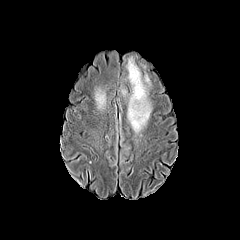
FLAIR magnetic resonance.
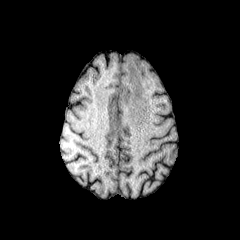
T1-weighted MR.
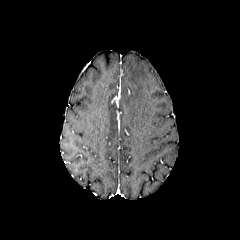
Post-contrast T1-weighted MR of the same slice.
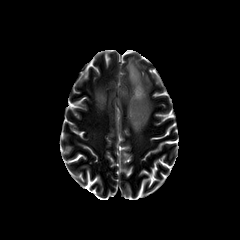
T2-weighted MRI.
Brain, Axial view
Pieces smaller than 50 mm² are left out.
<segmentation>
  <peritumoral_edema>(left=126, top=58, right=151, bottom=132), (left=95, top=90, right=105, bottom=108)</peritumoral_edema>
</segmentation>